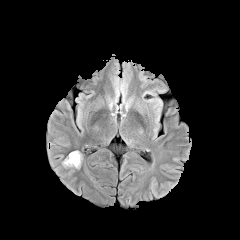
FLAIR MR image.
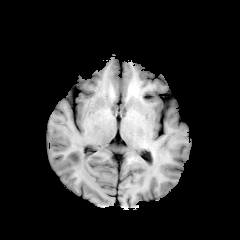
T1-weighted magnetic resonance.
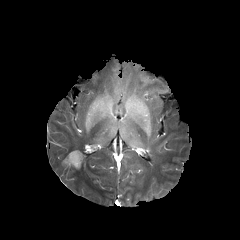
Post-contrast T1-weighted MR image.
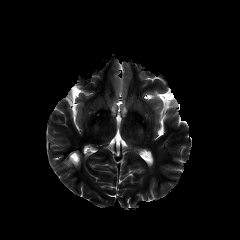
T2-weighted MRI of the same slice.
Axial plane, Head
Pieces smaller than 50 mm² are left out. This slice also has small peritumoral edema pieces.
{
  "enhancing_tumor": [
    "box=[64, 151, 81, 167]"
  ]
}